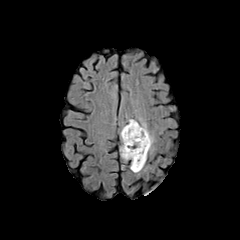
FLAIR MRI.
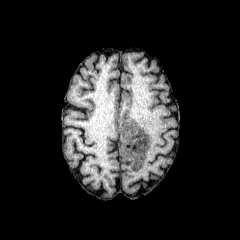
T1-weighted MR of the same slice.
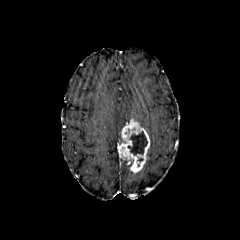
Post-contrast T1-weighted MRI of the same slice.
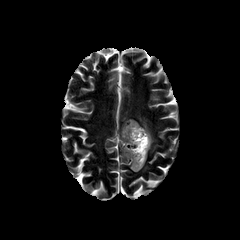
T2-weighted MRI of the same slice.
Head, Axial plane
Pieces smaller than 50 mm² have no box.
<segmentation>
  <enhancing_tumor>119,119,150,172</enhancing_tumor>
  <peritumoral_edema>138,117,154,151</peritumoral_edema>
  <necrotic_tumor_core>128,131,147,154</necrotic_tumor_core>
</segmentation>